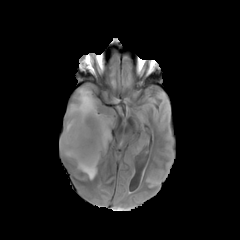
FLAIR MRI.
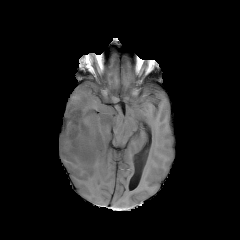
T1-weighted MR image of the same slice.
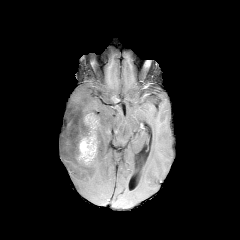
Post-contrast T1-weighted MR.
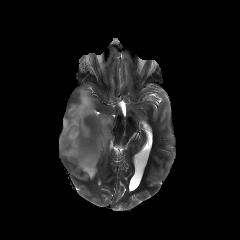
T2-weighted MR image.
240x240; Axial view
Segmented structures:
• enhancing tumor: [x1=77, y1=114, x2=99, y2=164]
• peritumoral edema: [x1=59, y1=86, x2=111, y2=179]